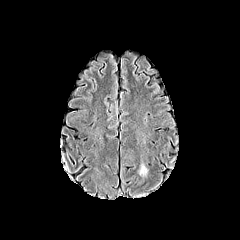
FLAIR MR image.
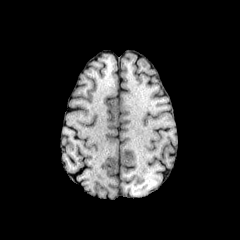
T1-weighted MRI.
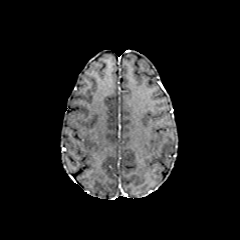
Same slice, post-contrast T1-weighted MR.
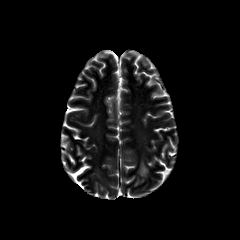
Same slice, T2-weighted MR.
Head. Axial slice.
The peritumoral edema lies within bbox=[139, 164, 147, 175].